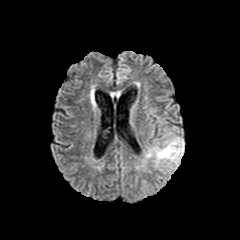
FLAIR magnetic resonance.
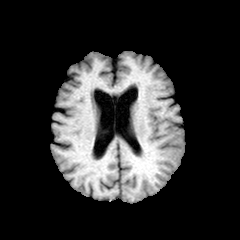
T1-weighted magnetic resonance of the same slice.
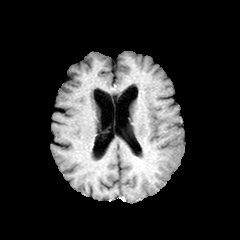
Post-contrast T1-weighted MR image.
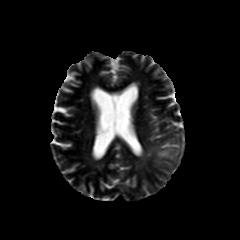
T2-weighted MRI.
Image size 240x240; Brain; Axial slice
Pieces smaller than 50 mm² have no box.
peritumoral edema: [147, 137, 184, 168]